Head, Axial plane, 240x240 px, Slice 46/155
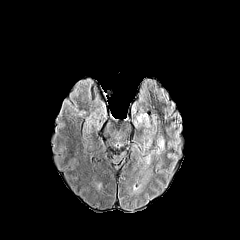
FLAIR MR.
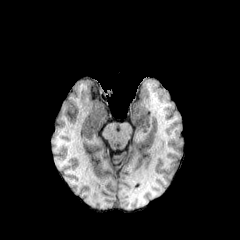
T1-weighted magnetic resonance.
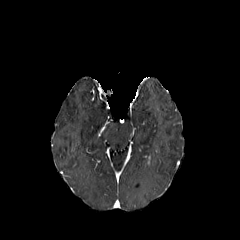
Post-contrast T1-weighted magnetic resonance of the same slice.
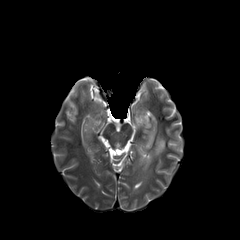
T2-weighted MRI.
peritumoral edema — 144, 149, 155, 163; 137, 113, 150, 127; 157, 138, 164, 153